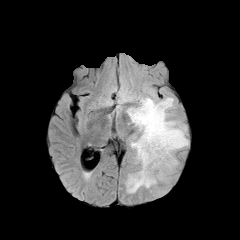
FLAIR magnetic resonance.
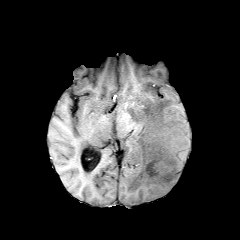
Same slice, T1-weighted MR image.
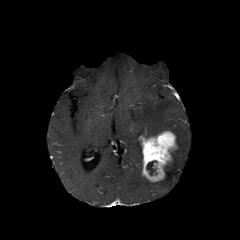
Post-contrast T1-weighted magnetic resonance.
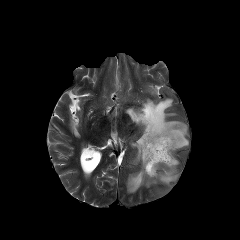
T2-weighted magnetic resonance.
Brain
necrotic tumor core = 146, 161, 156, 175
peritumoral edema = 126, 98, 188, 193
enhancing tumor = 139, 130, 177, 182